Image width 240 mm, 1.00 mm slice spacing | Axial slice | Brain
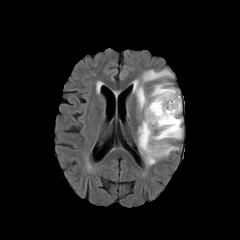
FLAIR magnetic resonance.
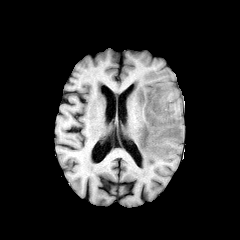
T1-weighted MR of the same slice.
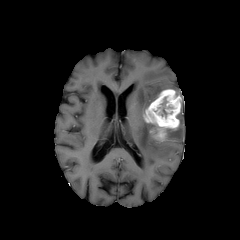
Post-contrast T1-weighted MR.
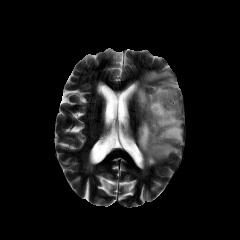
T2-weighted MR image.
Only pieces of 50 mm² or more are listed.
enhancing tumor: (left=143, top=89, right=181, bottom=141) | necrotic tumor core: (left=155, top=97, right=174, bottom=117) | peritumoral edema: (left=138, top=115, right=182, bottom=165), (left=133, top=69, right=181, bottom=113)